FLAIR MRI.
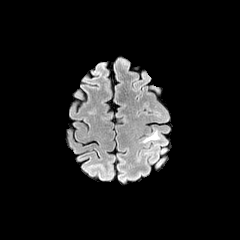
T1-weighted MR image.
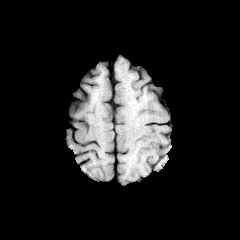
Post-contrast T1-weighted MR image.
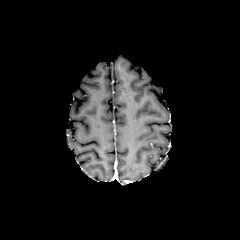
T2-weighted MR.
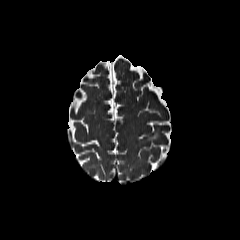
Brain; Axial view
{
  "peritumoral_edema": [
    "(144, 131, 158, 141)"
  ]
}